FLAIR magnetic resonance.
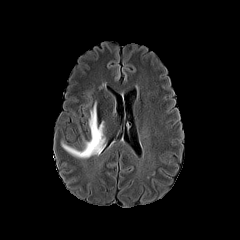
T1-weighted MRI.
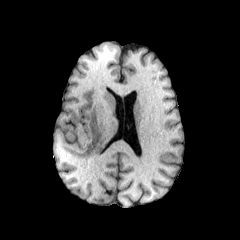
Post-contrast T1-weighted MRI.
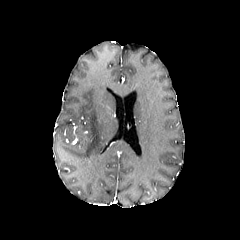
T2-weighted MR image.
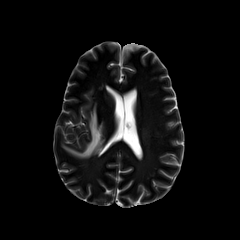
Brain | Image size 240x240 | Axial view
peritumoral edema at box(61, 102, 105, 158)